Head, Slice 69/155, Axial slice
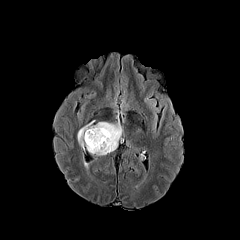
FLAIR MRI.
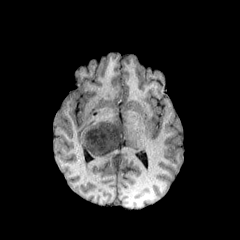
T1-weighted MR image.
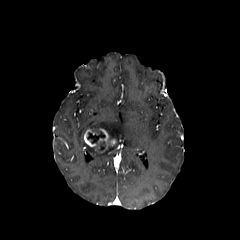
Post-contrast T1-weighted MRI.
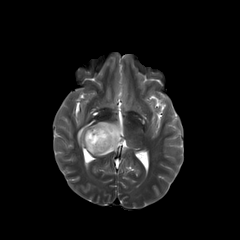
T2-weighted magnetic resonance of the same slice.
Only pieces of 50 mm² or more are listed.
<segmentation>
  <peritumoral_edema>(77, 120, 123, 155)</peritumoral_edema>
  <enhancing_tumor>(83, 128, 116, 152)</enhancing_tumor>
  <necrotic_tumor_core>(87, 130, 105, 151)</necrotic_tumor_core>
</segmentation>